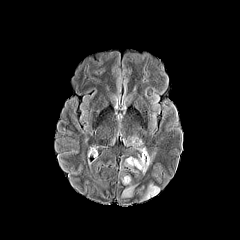
FLAIR MR.
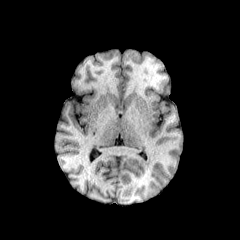
T1-weighted MR.
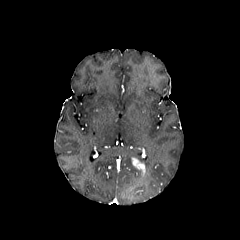
Post-contrast T1-weighted magnetic resonance.
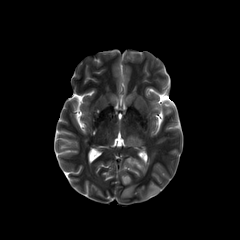
T2-weighted MRI.
240x240 px, Brain, Axial view
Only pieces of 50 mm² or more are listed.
peritumoral_edema:
  - left=125, top=137, right=142, bottom=145
  - left=122, top=176, right=130, bottom=184
  - left=122, top=186, right=135, bottom=197
  - left=143, top=184, right=159, bottom=198
  - left=139, top=156, right=150, bottom=170
  - left=125, top=157, right=133, bottom=166
enhancing_tumor:
  - left=131, top=157, right=145, bottom=174